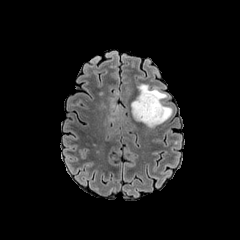
FLAIR MRI.
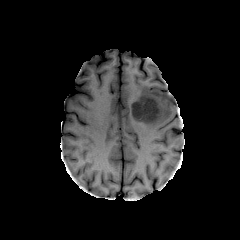
T1-weighted MR image.
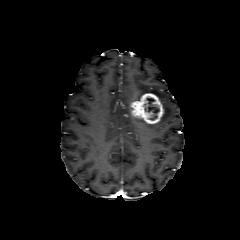
Post-contrast T1-weighted MR image.
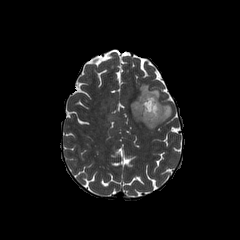
T2-weighted MRI.
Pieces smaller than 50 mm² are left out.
The enhancing tumor is bounded by x1=131, y1=93, x2=163, y2=123. 2 peritumoral edema regions appear at x1=134, y1=103, x2=172, y2=127; x1=135, y1=84, x2=166, y2=102. The largest necrotic tumor core region lies within x1=147, y1=97, x2=159, y2=113.